Head | Slice 129/155
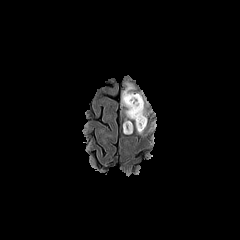
FLAIR magnetic resonance.
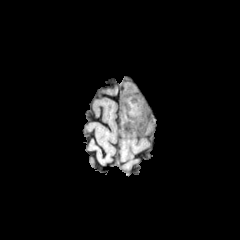
T1-weighted MR image.
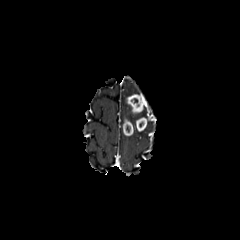
Post-contrast T1-weighted magnetic resonance.
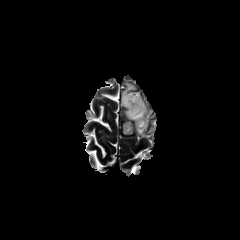
Same slice, T2-weighted MRI.
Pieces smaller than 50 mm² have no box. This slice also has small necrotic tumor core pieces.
enhancing tumor — [136,117,147,131], [123,119,133,135], [126,94,146,113]
peritumoral edema — [121,82,146,126]